FLAIR MR.
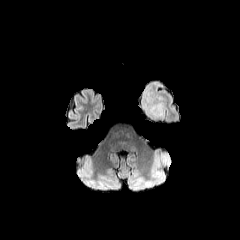
T1-weighted MR image.
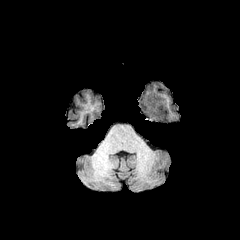
Post-contrast T1-weighted MRI.
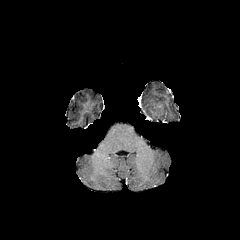
T2-weighted MR image.
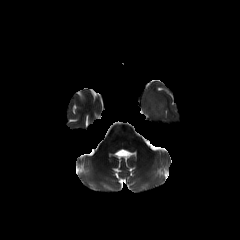
Head. Axial slice.
{"peritumoral_edema": ["<box>142,94,163,120</box>"]}